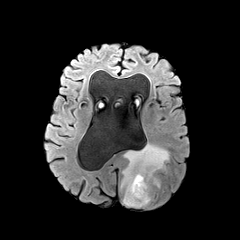
FLAIR MR image.
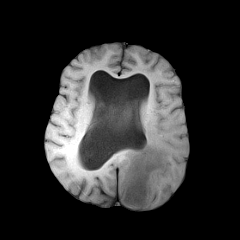
T1-weighted MR of the same slice.
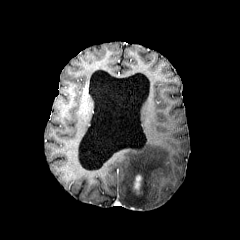
Same slice, post-contrast T1-weighted MRI.
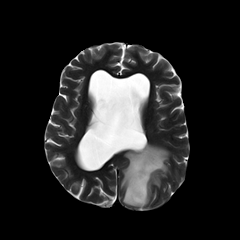
T2-weighted MR image of the same slice.
Axial plane. Brain.
enhancing tumor: bounding box box=[132, 174, 143, 194]
peritumoral edema: bounding box box=[121, 144, 168, 207]